Head, Axial view, Slice 79 of 155
FLAIR MRI.
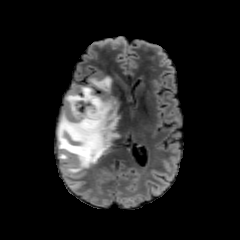
T1-weighted MRI.
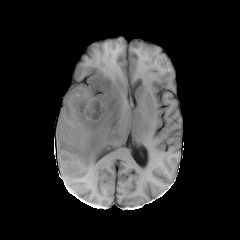
Post-contrast T1-weighted MRI.
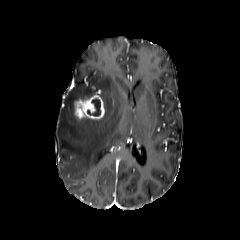
T2-weighted MRI.
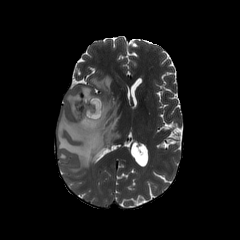
Segmented structures:
* peritumoral edema: (57,76,121,172), (60,153,68,159)
* necrotic tumor core: (87,98,100,115)
* enhancing tumor: (74,95,105,120)